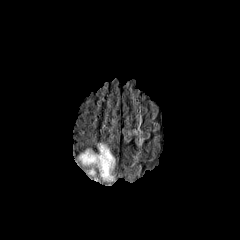
FLAIR magnetic resonance.
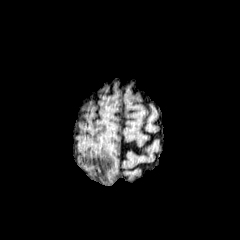
T1-weighted magnetic resonance.
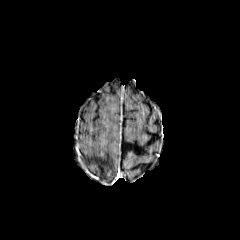
Same slice, post-contrast T1-weighted MR.
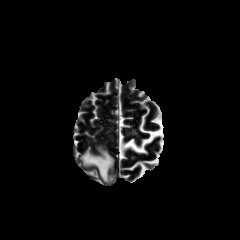
T2-weighted magnetic resonance of the same slice.
Brain
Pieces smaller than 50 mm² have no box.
The largest peritumoral edema region is bounded by bbox=[80, 144, 114, 181].